FLAIR magnetic resonance.
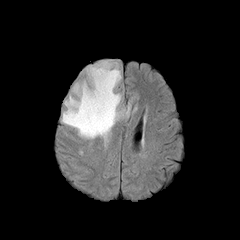
T1-weighted MR.
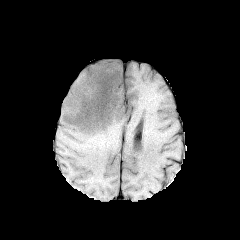
Post-contrast T1-weighted MR image.
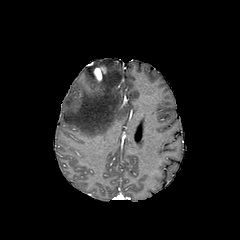
T2-weighted MRI.
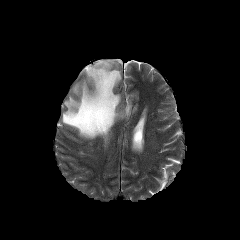
Image size 240x240
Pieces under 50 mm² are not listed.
<segmentation>
  <enhancing_tumor>rect(93, 66, 106, 82)</enhancing_tumor>
  <peritumoral_edema>rect(62, 60, 130, 147)</peritumoral_edema>
</segmentation>